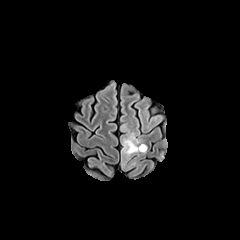
FLAIR MR image.
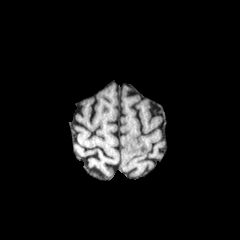
T1-weighted MR.
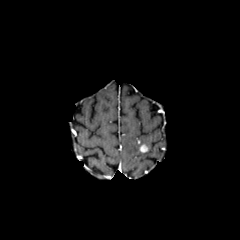
Post-contrast T1-weighted magnetic resonance.
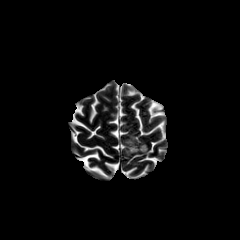
T2-weighted magnetic resonance.
240x240; Axial plane
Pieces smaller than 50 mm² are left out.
The largest peritumoral edema region appears at 122 132 140 163. The enhancing tumor lies within 139 144 147 152.